Head
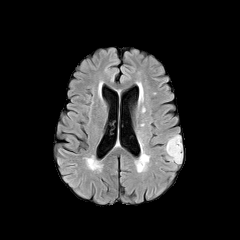
FLAIR MR image.
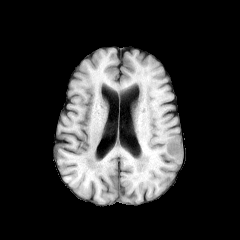
T1-weighted MR image.
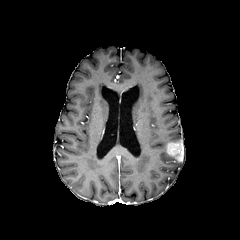
Post-contrast T1-weighted MR image of the same slice.
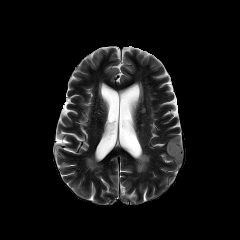
T2-weighted MR.
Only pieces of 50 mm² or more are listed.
The enhancing tumor is at l=167, t=140, r=184, b=162. The 2 largest peritumoral edema regions are bounded by l=167, t=135, r=181, b=143; l=168, t=154, r=181, b=163.